FLAIR MR.
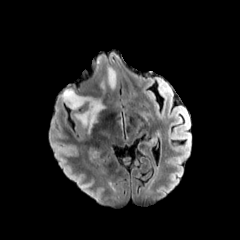
T1-weighted magnetic resonance.
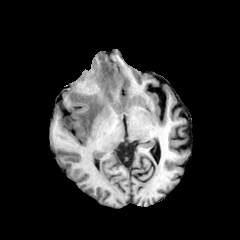
Post-contrast T1-weighted magnetic resonance.
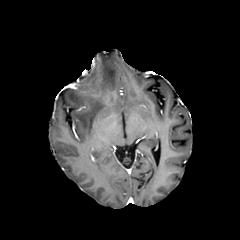
T2-weighted MRI.
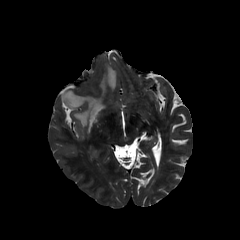
2 peritumoral edema regions are bounded by box(100, 66, 116, 89); box(63, 90, 104, 131).